FLAIR MRI.
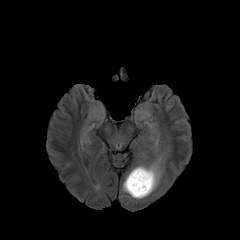
T1-weighted MR.
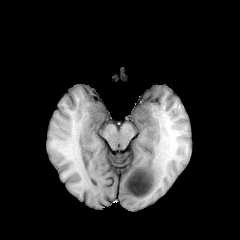
Post-contrast T1-weighted magnetic resonance.
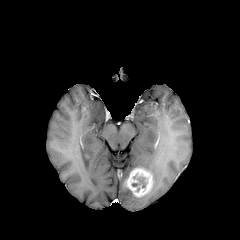
T2-weighted MRI.
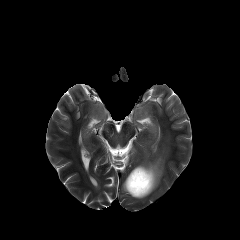
Axial plane; 240x240 px; Head
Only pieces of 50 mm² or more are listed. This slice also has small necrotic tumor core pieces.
<segmentation>
  <enhancing_tumor>{"x1": 124, "y1": 167, "x2": 153, "y2": 197}</enhancing_tumor>
  <peritumoral_edema>{"x1": 122, "y1": 157, "x2": 162, "y2": 199}</peritumoral_edema>
</segmentation>